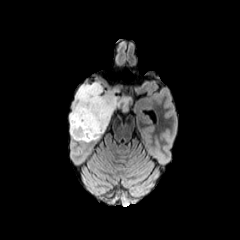
FLAIR MRI.
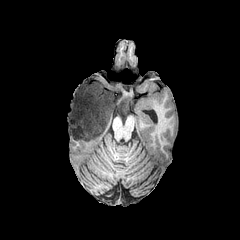
T1-weighted MRI.
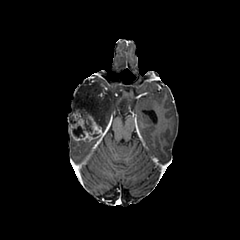
Post-contrast T1-weighted MR image of the same slice.
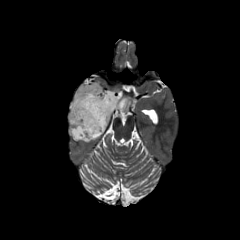
T2-weighted MR image.
Brain
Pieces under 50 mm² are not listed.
The largest enhancing tumor region is at (x1=69, y1=108, x2=102, y2=141). The largest peritumoral edema region is at (x1=69, y1=82, x2=129, y2=132). The largest necrotic tumor core region appears at (x1=72, y1=114, x2=92, y2=137).